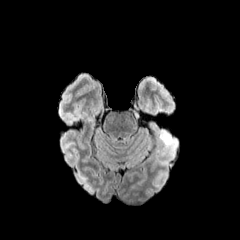
FLAIR MR.
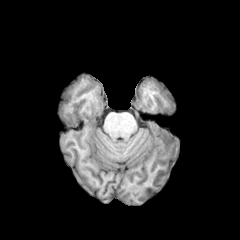
T1-weighted MR.
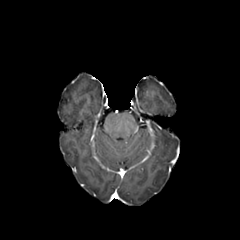
Post-contrast T1-weighted MR image of the same slice.
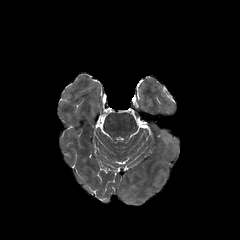
T2-weighted magnetic resonance.
Head; Axial plane
<segmentation>
  <peritumoral_edema>(160,130,175,146)</peritumoral_edema>
</segmentation>